FLAIR MR.
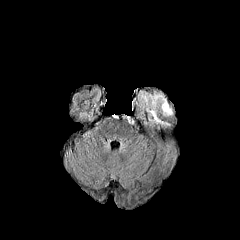
T1-weighted MR.
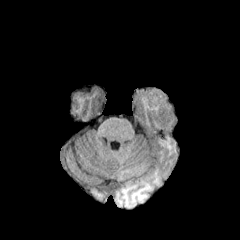
Post-contrast T1-weighted MRI.
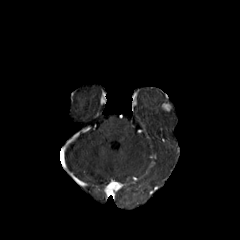
T2-weighted MR image.
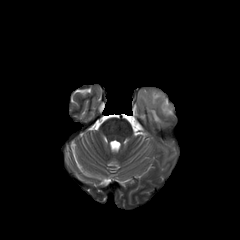
240x240, Axial view
Segmented structures:
- peritumoral edema: (left=139, top=92, right=172, bottom=125)
- enhancing tumor: (left=161, top=102, right=171, bottom=111)